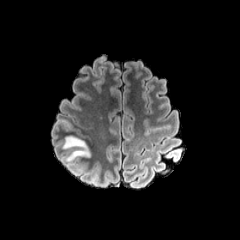
FLAIR MR image.
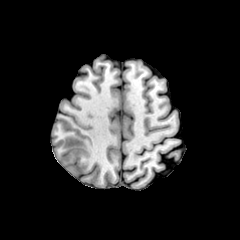
T1-weighted magnetic resonance.
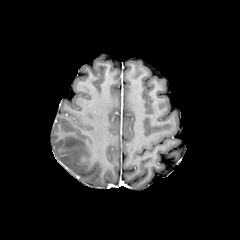
Post-contrast T1-weighted MR of the same slice.
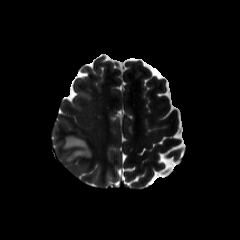
Same slice, T2-weighted MR.
peritumoral edema: bounding box (62, 135, 91, 161)